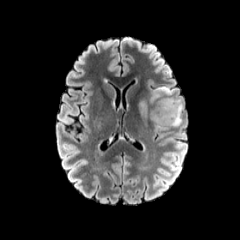
FLAIR MR.
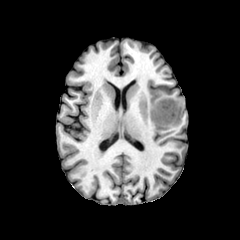
T1-weighted magnetic resonance of the same slice.
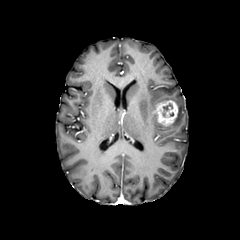
Post-contrast T1-weighted magnetic resonance.
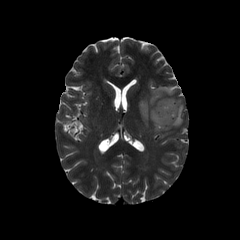
T2-weighted magnetic resonance.
Brain; Axial view
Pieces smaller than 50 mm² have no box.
necrotic_tumor_core:
  - 163:104:172:116
enhancing_tumor:
  - 151:100:178:125
peritumoral_edema:
  - 151:115:167:128
  - 140:102:147:116
  - 158:98:183:127
  - 150:87:175:102